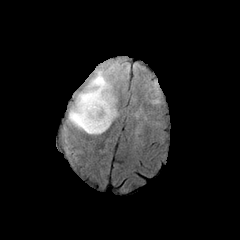
FLAIR MRI.
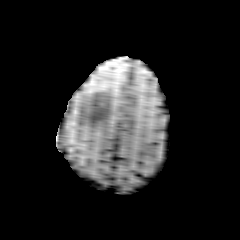
Same slice, T1-weighted magnetic resonance.
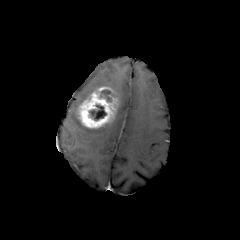
Post-contrast T1-weighted MR image of the same slice.
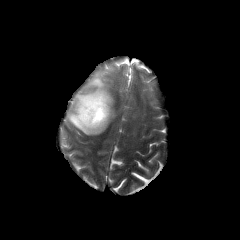
T2-weighted MR image.
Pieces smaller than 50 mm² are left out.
enhancing tumor: bounding box 77 87 117 129
necrotic tumor core: bounding box 95 106 105 119
peritumoral edema: bounding box 67 71 113 134